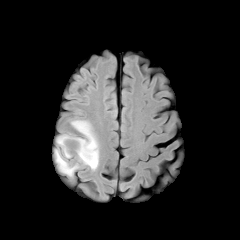
FLAIR MRI.
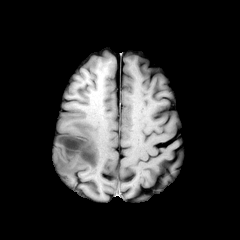
T1-weighted MR.
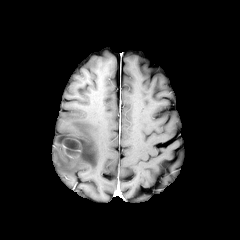
Post-contrast T1-weighted MR image.
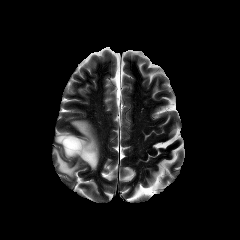
Same slice, T2-weighted MRI.
Axial plane.
peritumoral edema at 53, 120, 99, 177
enhancing tumor at 61, 138, 81, 157
necrotic tumor core at 66, 148, 78, 156; 62, 139, 80, 149